Brain
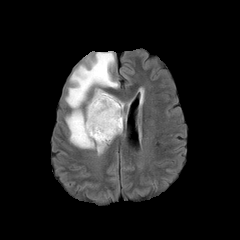
FLAIR MR image.
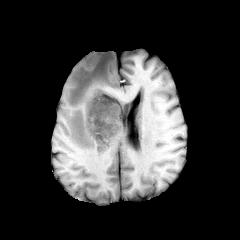
T1-weighted MRI.
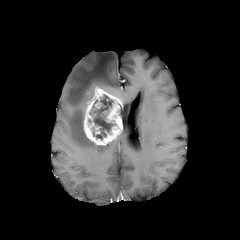
Post-contrast T1-weighted MR image of the same slice.
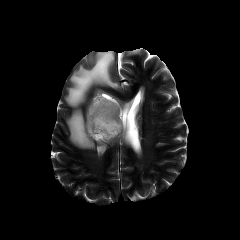
T2-weighted MRI.
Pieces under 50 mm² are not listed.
peritumoral edema: [x1=65, y1=51, x2=119, y2=148] | enhancing tumor: [x1=83, y1=87, x2=122, y2=145] | necrotic tumor core: [x1=88, y1=99, x2=114, y2=139]